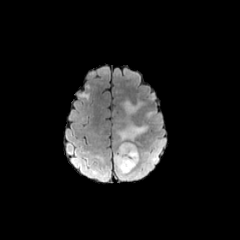
FLAIR MR image.
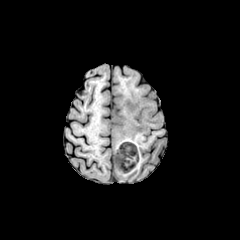
T1-weighted MR of the same slice.
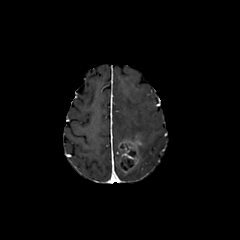
Post-contrast T1-weighted MRI.
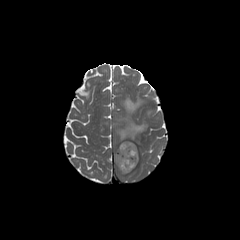
T2-weighted MRI of the same slice.
Image size 240x240
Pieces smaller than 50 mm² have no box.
{
  "enhancing_tumor": [
    "[115, 140, 141, 173]"
  ],
  "peritumoral_edema": [
    "[117, 122, 147, 141]",
    "[123, 100, 143, 114]",
    "[114, 154, 142, 179]"
  ],
  "necrotic_tumor_core": [
    "[121, 156, 133, 170]"
  ]
}